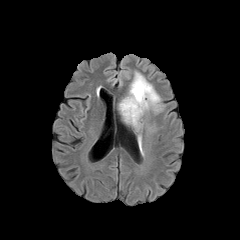
FLAIR MRI.
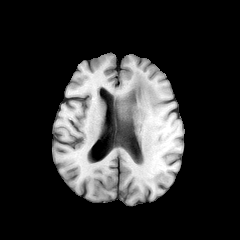
Same slice, T1-weighted MRI.
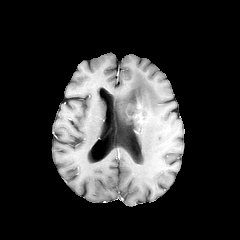
Post-contrast T1-weighted MR.
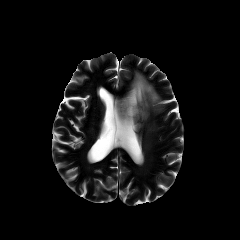
T2-weighted MR.
Head. Axial view.
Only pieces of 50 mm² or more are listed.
peritumoral_edema:
  - l=119, t=72, r=161, b=130
enhancing_tumor:
  - l=128, t=107, r=142, b=123